FLAIR MR image.
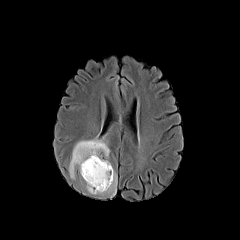
T1-weighted MR.
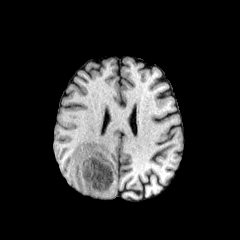
Post-contrast T1-weighted magnetic resonance.
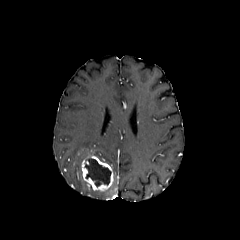
T2-weighted MR image.
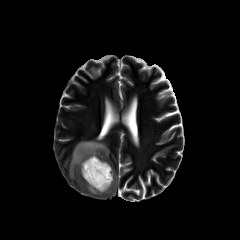
Axial plane | Head
peritumoral edema: bounding box box(86, 174, 116, 196); box(69, 139, 109, 180)
necrotic tumor core: bounding box box(85, 158, 111, 186)
enhancing tumor: bounding box box(81, 155, 114, 191)